FLAIR MR image.
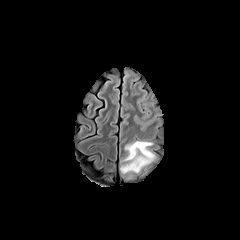
T1-weighted MRI.
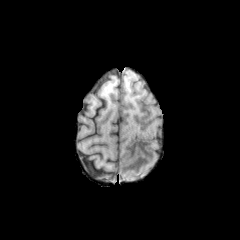
Post-contrast T1-weighted MRI.
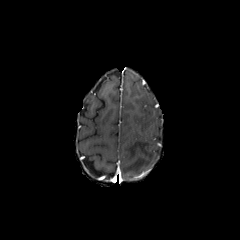
T2-weighted MRI.
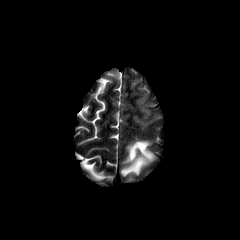
Brain
peritumoral edema at x1=121 y1=140 x2=157 y2=174